Image size 240x240, Axial slice
FLAIR MRI.
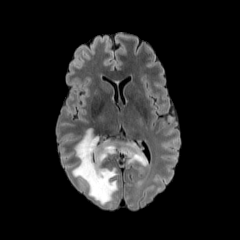
T1-weighted magnetic resonance.
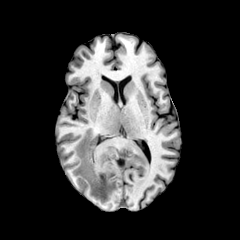
Post-contrast T1-weighted MRI.
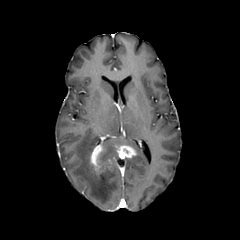
T2-weighted MR image.
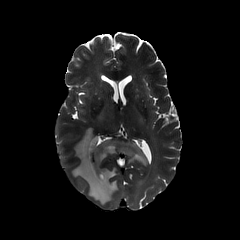
peritumoral edema — l=120, t=142, r=146, b=165; l=72, t=129, r=119, b=205
enhancing tumor — l=117, t=145, r=136, b=158; l=90, t=145, r=103, b=172